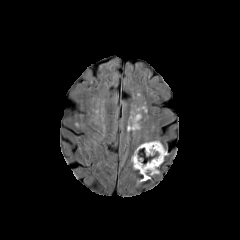
FLAIR magnetic resonance.
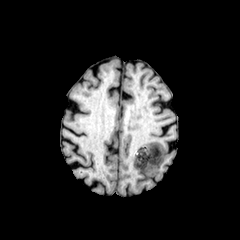
Same slice, T1-weighted MRI.
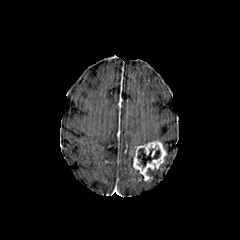
Post-contrast T1-weighted MR of the same slice.
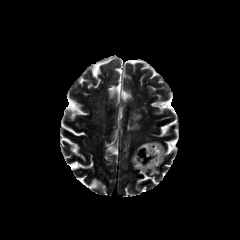
T2-weighted MR image of the same slice.
240x240 px | Axial slice
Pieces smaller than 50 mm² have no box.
Segmented structures:
• enhancing tumor: 133,141,166,180
• peritumoral edema: 147,169,159,178
• necrotic tumor core: 137,148,160,167